240x240 px.
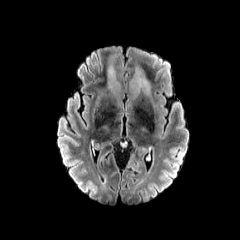
FLAIR MRI.
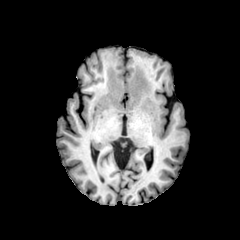
T1-weighted MR image of the same slice.
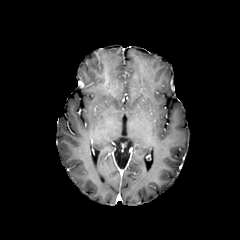
Post-contrast T1-weighted MR image.
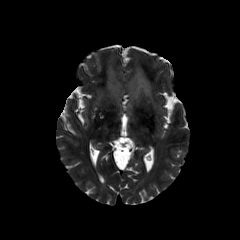
T2-weighted magnetic resonance.
peritumoral edema: bounding box box=[108, 66, 119, 94]; box=[130, 68, 151, 97]